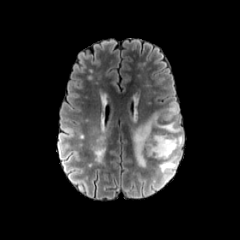
FLAIR MR image.
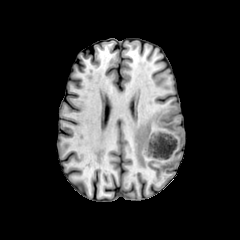
Same slice, T1-weighted MR image.
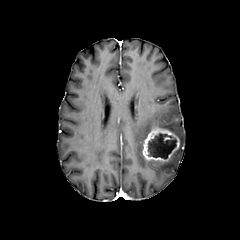
Post-contrast T1-weighted MR image of the same slice.
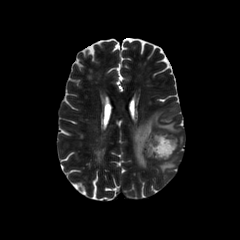
T2-weighted MR.
Axial plane, Image size 240x240
Annotated regions:
- enhancing tumor: x1=142, y1=129, x2=179, y2=161
- peritumoral edema: x1=133, y1=112, x2=183, y2=172; x1=166, y1=102, x2=178, y2=119
- necrotic tumor core: x1=148, y1=133, x2=176, y2=158